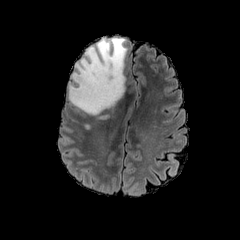
FLAIR MR image.
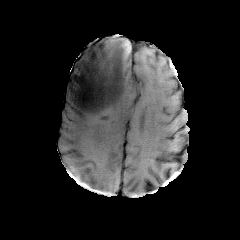
T1-weighted MR.
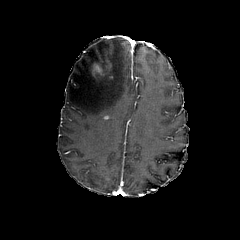
Post-contrast T1-weighted MR.
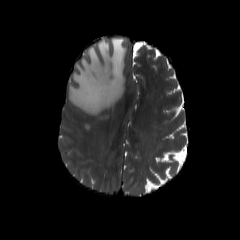
T2-weighted MRI of the same slice.
Head. Axial plane. 240x240.
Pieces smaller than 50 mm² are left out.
{
  "peritumoral_edema": [
    "[68, 37, 128, 115]"
  ],
  "enhancing_tumor": [
    "[93, 63, 104, 76]"
  ]
}